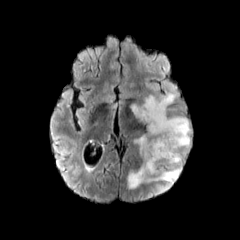
FLAIR MRI.
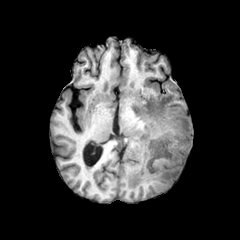
T1-weighted magnetic resonance.
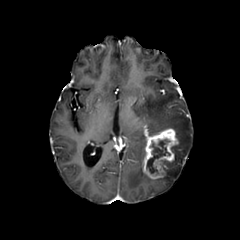
Post-contrast T1-weighted MR image.
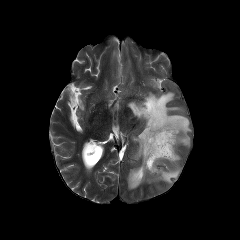
T2-weighted magnetic resonance.
Axial view
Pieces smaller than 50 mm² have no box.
The peritumoral edema appears at [127, 93, 191, 193]. The largest necrotic tumor core region is located at [146, 139, 170, 174]. The largest enhancing tumor region lies within [142, 128, 178, 179].